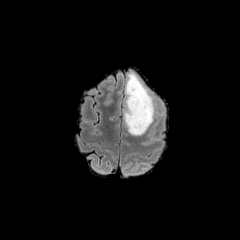
FLAIR magnetic resonance.
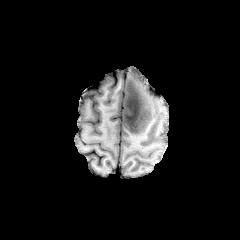
T1-weighted MR image.
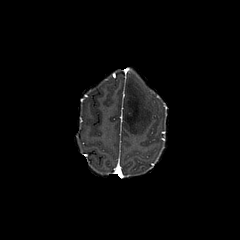
Same slice, post-contrast T1-weighted MR.
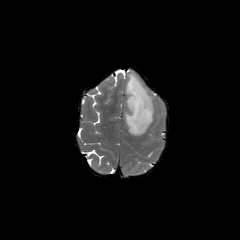
T2-weighted magnetic resonance.
Axial plane. Brain. Image size 240x240.
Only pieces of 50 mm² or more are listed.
The largest peritumoral edema region is at (x1=126, y1=73, x2=153, y2=135). The largest necrotic tumor core region is bounded by (x1=125, y1=97, x2=140, y2=132).